Image width 240 mm, 1.00 mm slice spacing. Slice 105 of 155. Head. Axial slice.
FLAIR MRI.
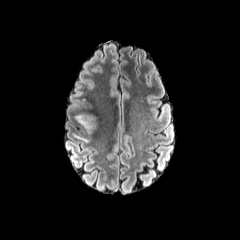
T1-weighted magnetic resonance.
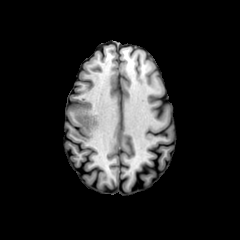
Post-contrast T1-weighted magnetic resonance.
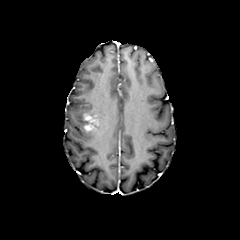
T2-weighted MR image.
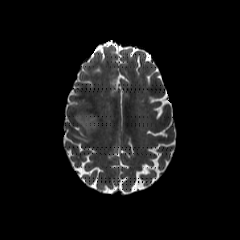
peritumoral edema: 73:110:100:142 | enhancing tumor: 83:113:97:131